FLAIR MRI.
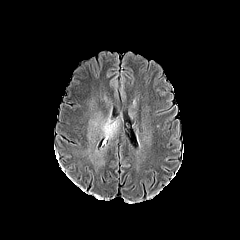
T1-weighted magnetic resonance.
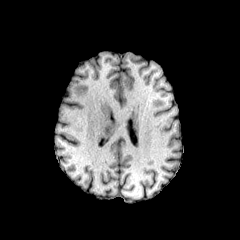
Post-contrast T1-weighted MRI.
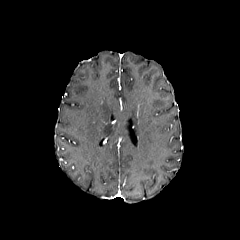
T2-weighted MRI.
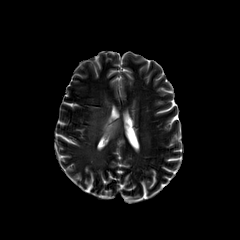
Brain
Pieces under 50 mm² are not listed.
<segmentation>
  <peritumoral_edema>x1=101 y1=119 x2=117 y2=138</peritumoral_edema>
</segmentation>